Axial view; Image covers 240 mm x 240 mm; Slice 67/155; Brain
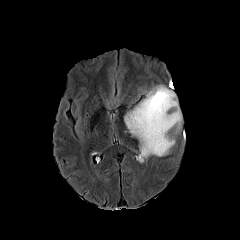
FLAIR MRI.
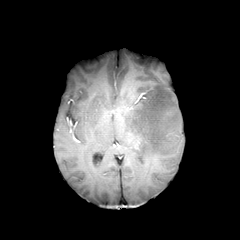
T1-weighted MR image of the same slice.
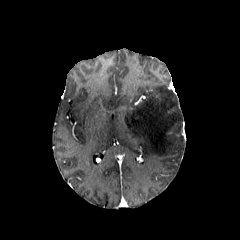
Post-contrast T1-weighted MR image.
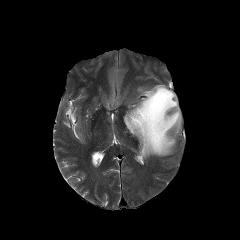
T2-weighted MR image.
peritumoral edema at x1=124, y1=85, x2=181, y2=158